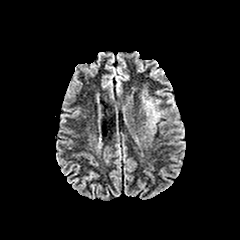
FLAIR MR image.
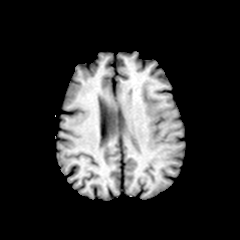
Same slice, T1-weighted magnetic resonance.
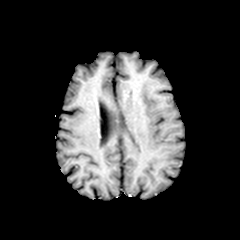
Post-contrast T1-weighted MRI of the same slice.
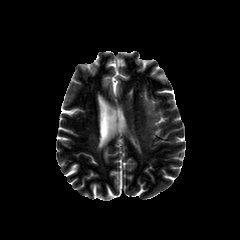
T2-weighted magnetic resonance.
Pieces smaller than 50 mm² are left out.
<segmentation>
  <peritumoral_edema>143:97:159:120</peritumoral_edema>
</segmentation>